FLAIR magnetic resonance.
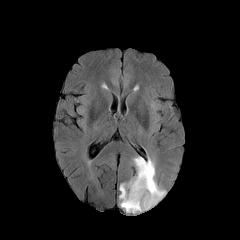
T1-weighted MR image.
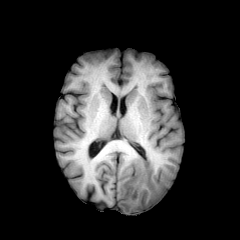
Post-contrast T1-weighted MRI.
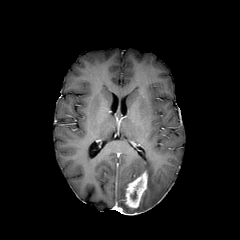
T2-weighted MR.
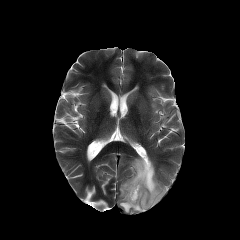
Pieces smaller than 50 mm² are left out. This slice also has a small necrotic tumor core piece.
enhancing tumor at 125, 171, 147, 208
peritumoral edema at 119, 157, 165, 212